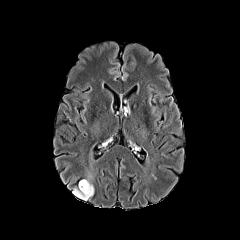
FLAIR MR.
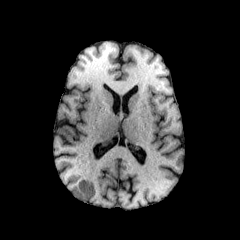
T1-weighted MR.
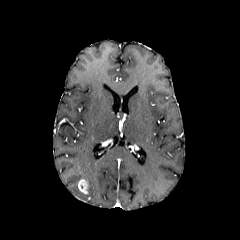
Same slice, post-contrast T1-weighted magnetic resonance.
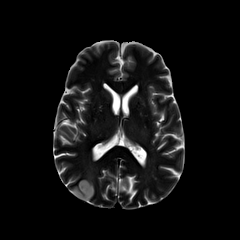
T2-weighted MR.
Axial view
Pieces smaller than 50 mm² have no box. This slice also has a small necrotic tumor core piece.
- peritumoral edema: 73 174 94 200
- enhancing tumor: 78 179 88 194